FLAIR MRI.
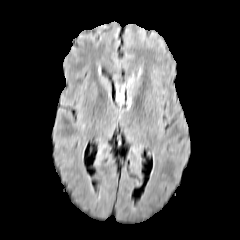
T1-weighted magnetic resonance.
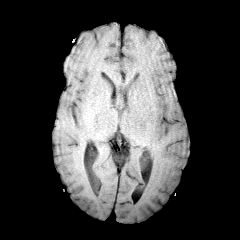
Post-contrast T1-weighted magnetic resonance.
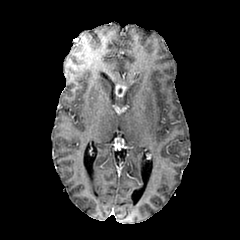
T2-weighted MR.
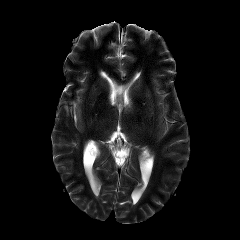
Brain, 240x240
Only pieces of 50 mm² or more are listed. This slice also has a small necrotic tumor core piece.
peritumoral edema — 116, 96, 123, 105
enhancing tumor — 116, 84, 126, 97